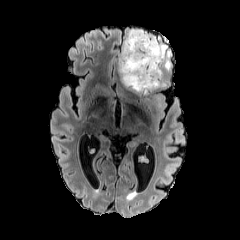
FLAIR MR.
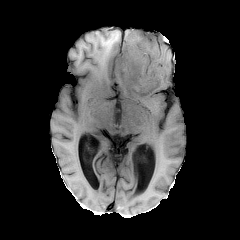
T1-weighted MRI of the same slice.
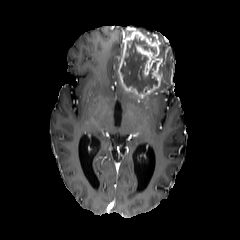
Post-contrast T1-weighted MR image.
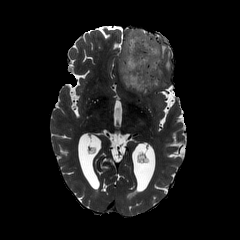
T2-weighted magnetic resonance of the same slice.
240x240 px. Head.
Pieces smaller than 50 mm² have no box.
The largest peritumoral edema region appears at 160,43,171,71. The enhancing tumor appears at 118,29,162,96. The largest necrotic tumor core region is bounded by 120,37,157,93.